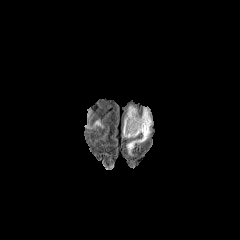
FLAIR magnetic resonance.
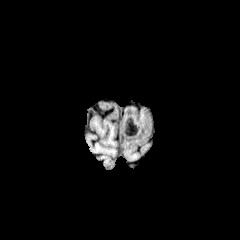
T1-weighted MR image of the same slice.
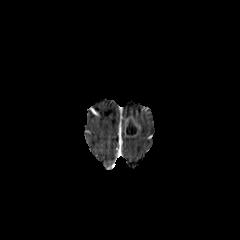
Post-contrast T1-weighted MR of the same slice.
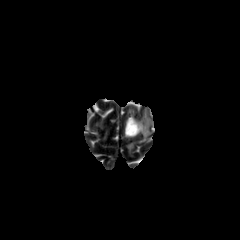
Same slice, T2-weighted MR image.
240x240.
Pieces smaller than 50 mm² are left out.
<segmentation>
  <enhancing_tumor>(124,115,141,137)</enhancing_tumor>
  <peritumoral_edema>(126,107,151,154)</peritumoral_edema>
  <necrotic_tumor_core>(126,120,137,135)</necrotic_tumor_core>
</segmentation>